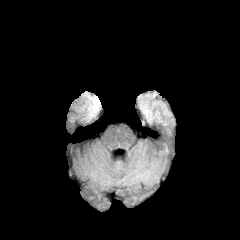
FLAIR MRI.
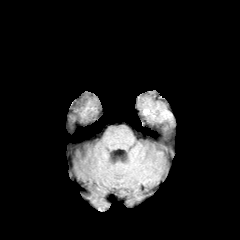
T1-weighted MR image.
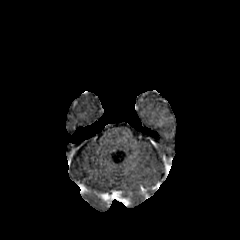
Post-contrast T1-weighted MR.
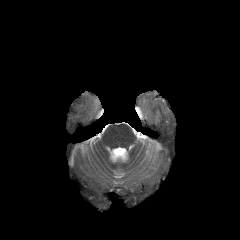
T2-weighted MRI of the same slice.
Axial plane. 240x240.
peritumoral edema = bbox(87, 95, 100, 118)